Slice 104 of 155 | Axial plane
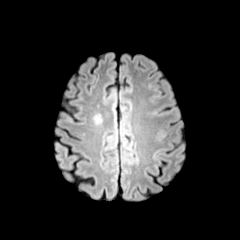
FLAIR MR.
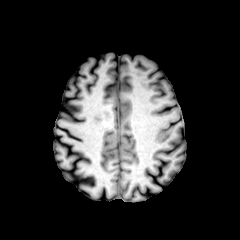
T1-weighted MRI.
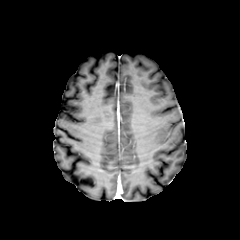
Post-contrast T1-weighted magnetic resonance.
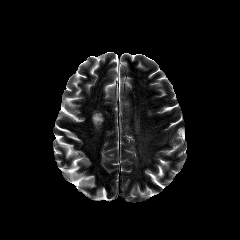
T2-weighted magnetic resonance.
The peritumoral edema is at (93,114,102,123).